Brain | Image size 240x240 | Axial view | Slice 56 of 155
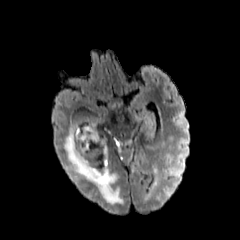
FLAIR MRI.
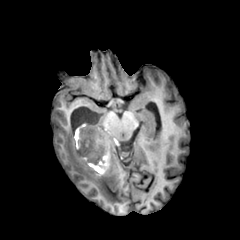
T1-weighted MR image.
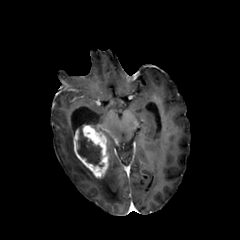
Post-contrast T1-weighted MR image of the same slice.
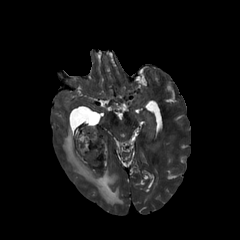
T2-weighted MR.
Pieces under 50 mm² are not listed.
The largest peritumoral edema region is bounded by box(64, 126, 123, 204). The necrotic tumor core is located at box(77, 130, 102, 167). The enhancing tumor is located at box(73, 124, 108, 178).